Axial view, Slice 76 of 155, Head
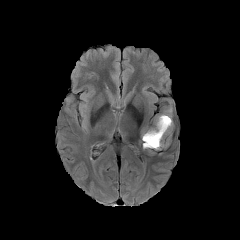
FLAIR magnetic resonance.
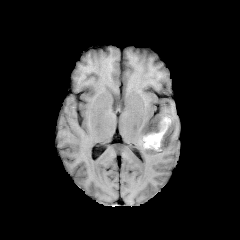
T1-weighted MR image of the same slice.
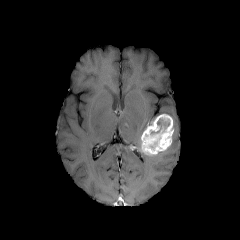
Post-contrast T1-weighted MRI.
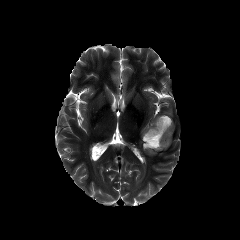
Same slice, T2-weighted MRI.
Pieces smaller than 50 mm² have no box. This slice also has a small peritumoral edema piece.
<segmentation>
  <necrotic_tumor_core>left=157, top=119, right=169, bottom=129</necrotic_tumor_core>
  <enhancing_tumor>left=141, top=114, right=173, bottom=154</enhancing_tumor>
</segmentation>